FLAIR MR image.
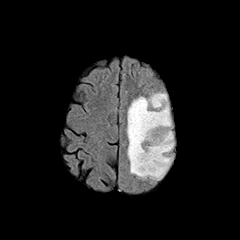
T1-weighted MRI.
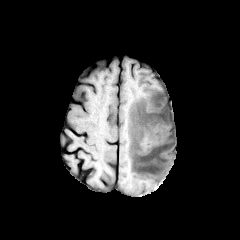
Post-contrast T1-weighted magnetic resonance.
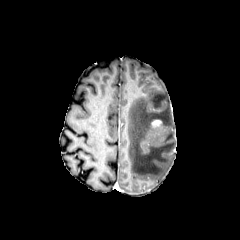
T2-weighted magnetic resonance.
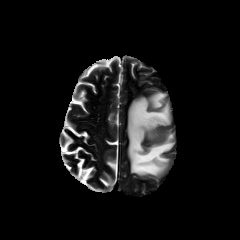
240x240, Brain
The peritumoral edema lies within (127, 92, 174, 179). The enhancing tumor appears at (151, 120, 161, 127).